FLAIR MRI.
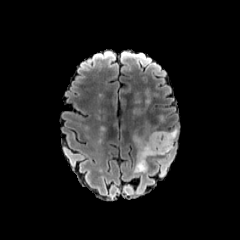
T1-weighted magnetic resonance.
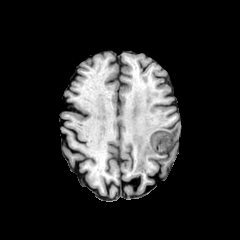
Post-contrast T1-weighted magnetic resonance.
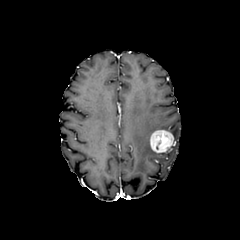
T2-weighted MR image.
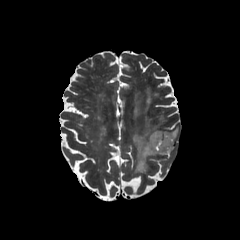
Brain
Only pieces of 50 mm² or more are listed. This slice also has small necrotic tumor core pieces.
The 3 largest peritumoral edema regions appear at 169:127:178:150, 144:92:158:115, 132:124:170:172. The enhancing tumor lies within 150:130:174:152.